Slice 37 of 155, Head
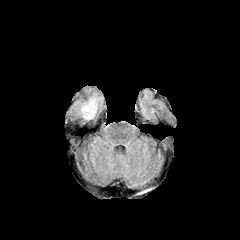
FLAIR MR.
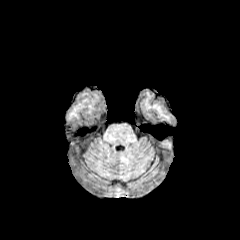
T1-weighted MRI.
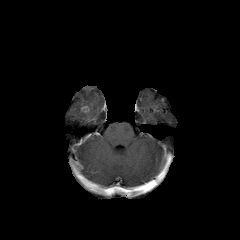
Same slice, post-contrast T1-weighted MR.
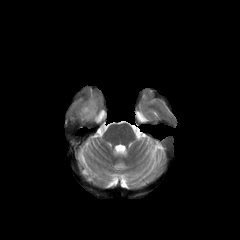
T2-weighted MR.
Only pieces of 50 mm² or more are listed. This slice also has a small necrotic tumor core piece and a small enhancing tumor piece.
The peritumoral edema appears at 75:94:102:120.